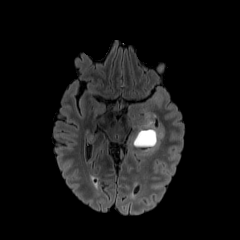
FLAIR MR.
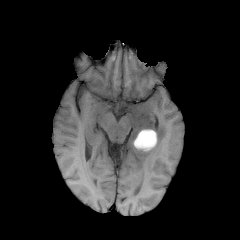
T1-weighted MR.
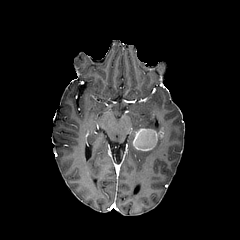
Post-contrast T1-weighted MRI.
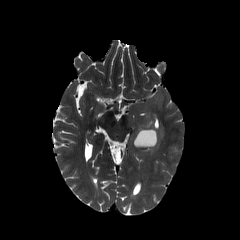
T2-weighted MR image.
Axial plane | Image size 240x240
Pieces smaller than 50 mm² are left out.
necrotic tumor core — x1=135 y1=129 x2=155 y2=148
enhancing tumor — x1=133 y1=127 x2=163 y2=151
peritumoral edema — x1=143 y1=137 x2=162 y2=153, x1=137 y1=113 x2=155 y2=129